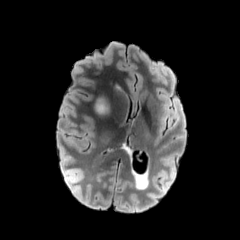
FLAIR MR.
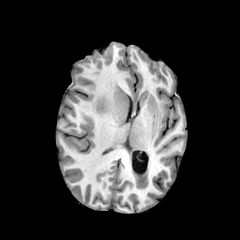
T1-weighted MR image.
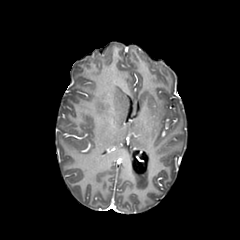
Post-contrast T1-weighted MRI of the same slice.
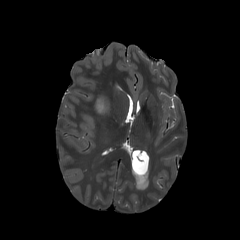
T2-weighted magnetic resonance.
240x240 px, Axial view, Head
peritumoral edema: x1=96, y1=100, x2=108, y2=114